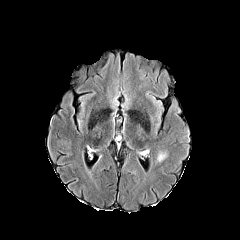
FLAIR MR.
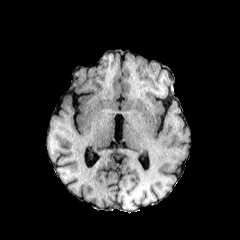
T1-weighted magnetic resonance.
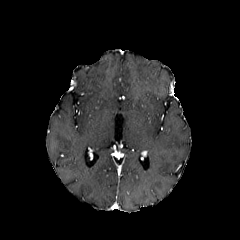
Post-contrast T1-weighted MR.
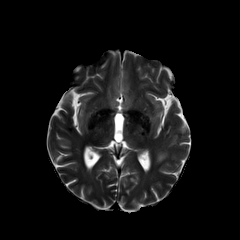
Same slice, T2-weighted MRI.
Head
{"peritumoral_edema": ["(157, 153, 166, 161)"]}